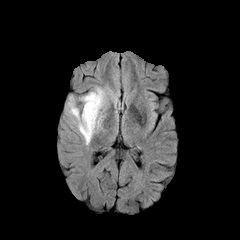
FLAIR MR image.
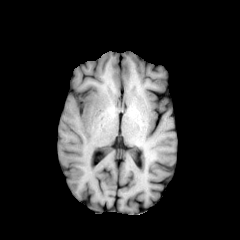
Same slice, T1-weighted MR image.
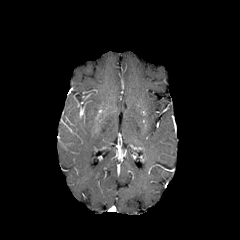
Post-contrast T1-weighted magnetic resonance.
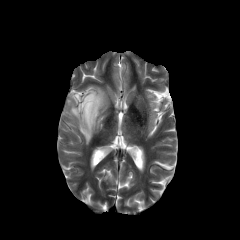
Same slice, T2-weighted MR image.
Brain.
* peritumoral edema: [67, 86, 116, 144]